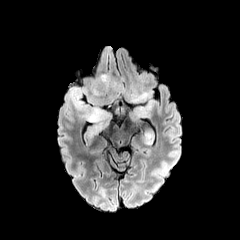
FLAIR MRI.
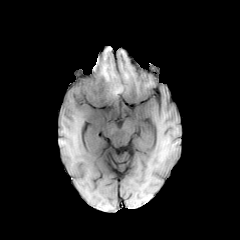
Same slice, T1-weighted magnetic resonance.
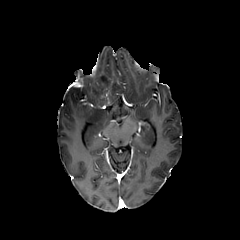
Post-contrast T1-weighted MR of the same slice.
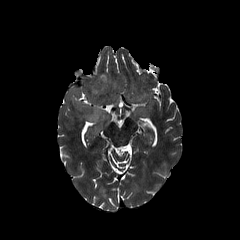
T2-weighted MR image of the same slice.
Head. Axial view.
peritumoral edema = <bbox>71, 74, 152, 125</bbox>, <bbox>130, 101, 154, 120</bbox>